Axial view; Image covers 240 mm x 240 mm; Slice 85 of 155
FLAIR MRI.
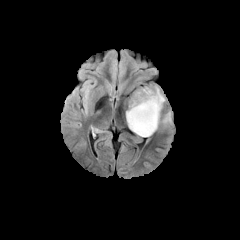
T1-weighted MR.
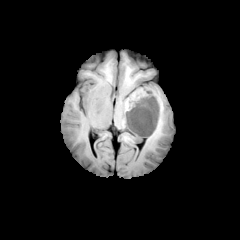
Post-contrast T1-weighted MR.
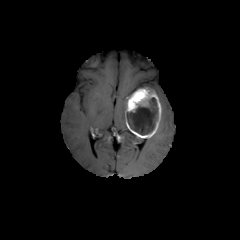
T2-weighted MR image.
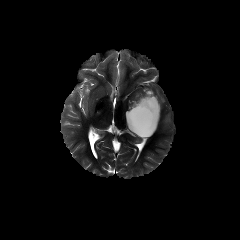
enhancing_tumor:
  - 125,88,161,137
peritumoral_edema:
  - 155,87,164,107
  - 163,112,170,123
necrotic_tumor_core:
  - 127,97,157,134